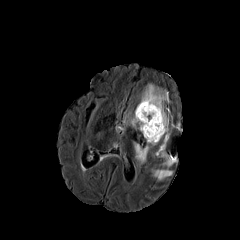
FLAIR MR.
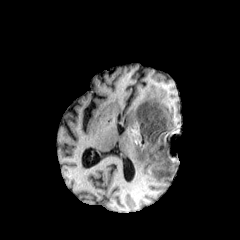
T1-weighted MR of the same slice.
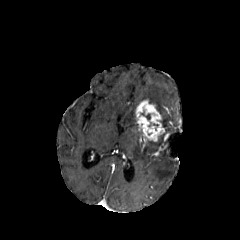
Post-contrast T1-weighted MRI of the same slice.
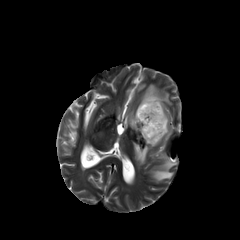
Same slice, T2-weighted MR image.
Axial slice
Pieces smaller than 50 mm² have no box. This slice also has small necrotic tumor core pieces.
peritumoral_edema:
  - (left=130, top=115, right=136, bottom=128)
  - (left=134, top=84, right=169, bottom=164)
  - (left=152, top=149, right=176, bottom=180)
enhancing_tumor:
  - (left=154, top=143, right=166, bottom=155)
  - (left=135, top=99, right=165, bottom=141)